Image covers 240 mm x 240 mm, Brain, Axial slice
FLAIR magnetic resonance.
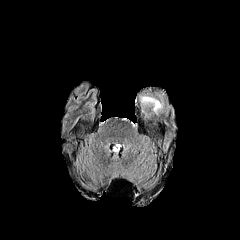
T1-weighted MRI.
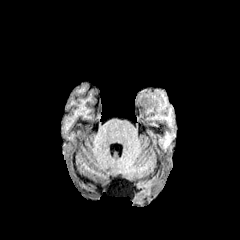
Post-contrast T1-weighted MR image.
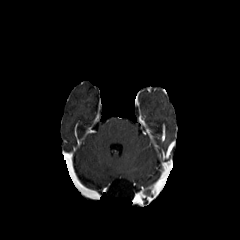
T2-weighted magnetic resonance.
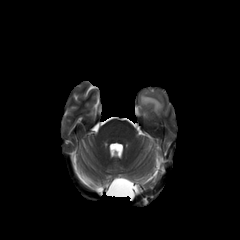
<segmentation>
  <peritumoral_edema><box>139,94,163,115</box></peritumoral_edema>
</segmentation>